FLAIR MR.
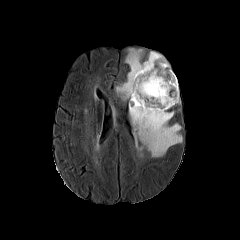
T1-weighted MR.
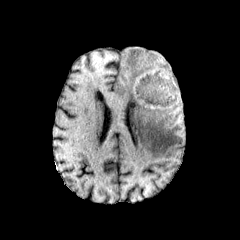
Post-contrast T1-weighted MRI.
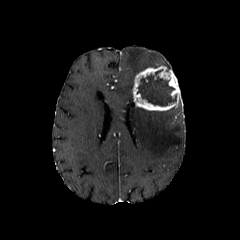
T2-weighted MR image.
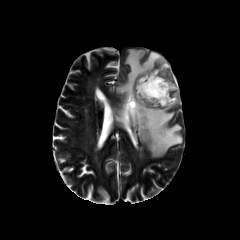
240x240 px. Head. Axial plane.
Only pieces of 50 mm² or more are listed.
enhancing tumor = bbox(132, 65, 180, 111)
necrotic tumor core = bbox(137, 74, 176, 106)
peritumoral edema = bbox(116, 48, 182, 157)